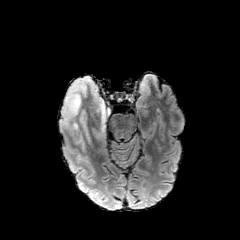
FLAIR MRI.
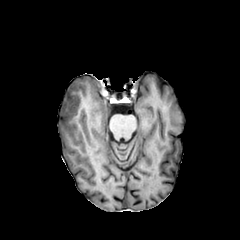
T1-weighted MR of the same slice.
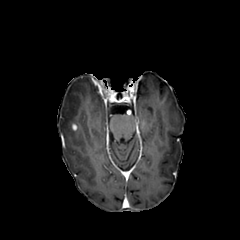
Post-contrast T1-weighted magnetic resonance of the same slice.
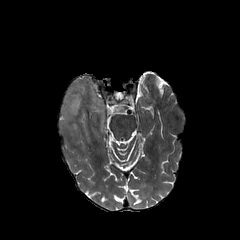
T2-weighted MRI.
240x240 px.
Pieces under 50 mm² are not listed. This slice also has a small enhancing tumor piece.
peritumoral edema — [60, 75, 110, 147]